Slice 87/155. Image width 240 mm.
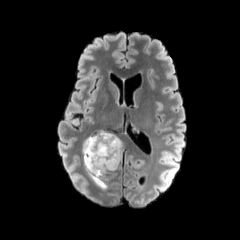
FLAIR MR.
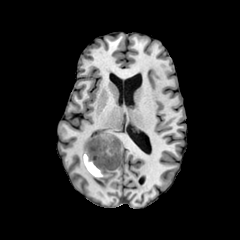
T1-weighted MR.
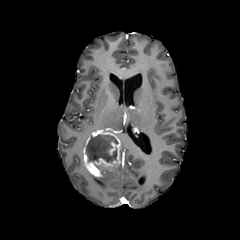
Post-contrast T1-weighted magnetic resonance of the same slice.
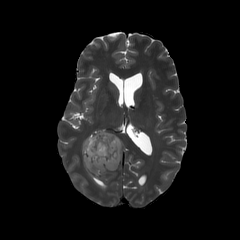
T2-weighted MR image.
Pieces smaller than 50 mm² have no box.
The necrotic tumor core appears at box(86, 134, 117, 163). The 2 largest peritumoral edema regions are bounded by box(81, 136, 112, 189); box(115, 136, 124, 169). The enhancing tumor lies within box(82, 130, 121, 178).